FLAIR magnetic resonance.
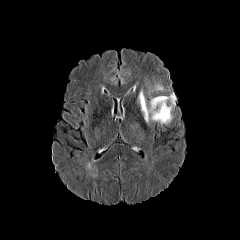
T1-weighted MRI.
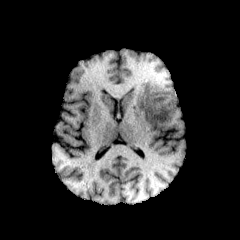
Post-contrast T1-weighted MR image.
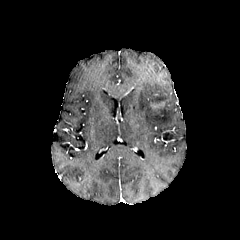
T2-weighted magnetic resonance.
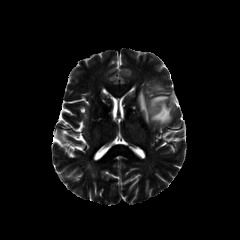
Head, Axial view, 240x240 px
The enhancing tumor lies within box(150, 102, 164, 109). 2 peritumoral edema regions appear at box(152, 83, 164, 91); box(138, 89, 176, 125).